FLAIR MRI.
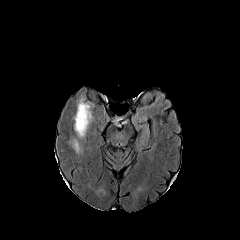
T1-weighted magnetic resonance.
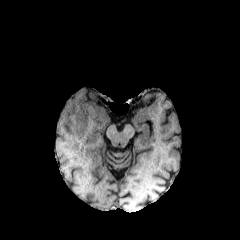
Post-contrast T1-weighted MR.
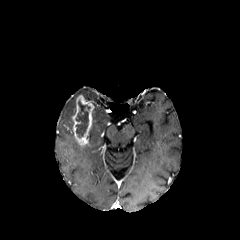
T2-weighted magnetic resonance.
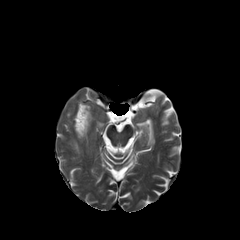
Brain. 240x240.
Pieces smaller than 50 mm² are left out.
<segmentation>
  <necrotic_tumor_core><bbox>76, 101, 89, 137</bbox></necrotic_tumor_core>
  <enhancing_tumor><bbox>73, 95, 94, 145</bbox></enhancing_tumor>
  <peritumoral_edema><bbox>72, 139, 80, 153</bbox></peritumoral_edema>
</segmentation>